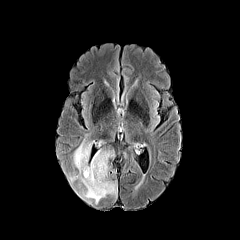
FLAIR MRI.
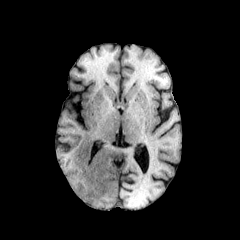
Same slice, T1-weighted magnetic resonance.
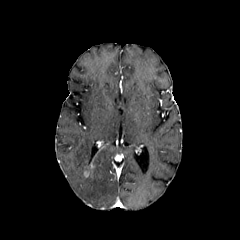
Same slice, post-contrast T1-weighted MRI.
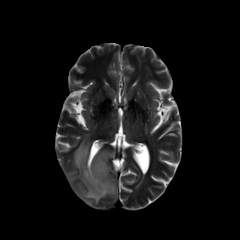
T2-weighted MRI of the same slice.
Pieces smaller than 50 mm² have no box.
The largest peritumoral edema region is at (left=68, top=135, right=117, bottom=204). The enhancing tumor is located at (left=84, top=162, right=94, bottom=176).